FLAIR MRI.
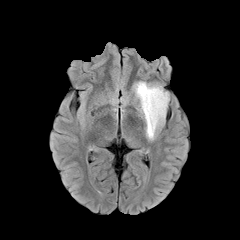
T1-weighted MR image.
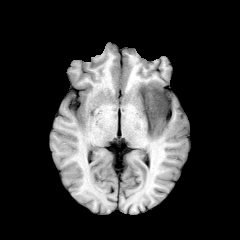
Post-contrast T1-weighted MR.
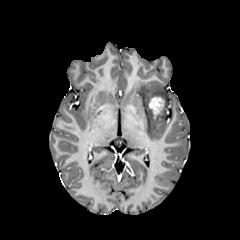
T2-weighted MR.
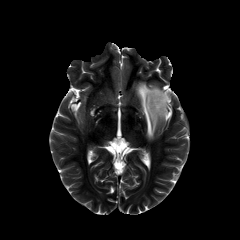
Image size 240x240.
peritumoral edema: l=134, t=81, r=169, b=140
enhancing tumor: l=149, t=97, r=164, b=118